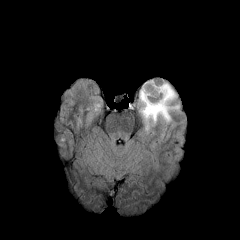
FLAIR MR image.
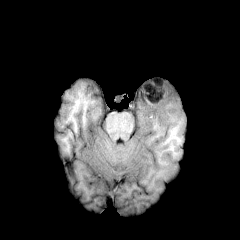
T1-weighted magnetic resonance of the same slice.
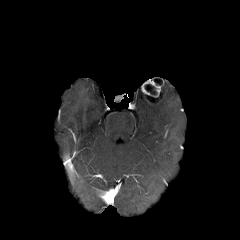
Post-contrast T1-weighted MRI of the same slice.
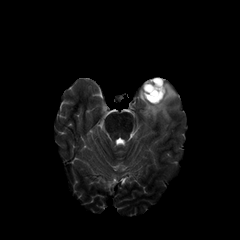
T2-weighted MR image.
Axial plane.
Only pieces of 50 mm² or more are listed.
necrotic tumor core: bounding box box(145, 84, 156, 95); box(153, 79, 163, 85); box(145, 92, 161, 102)
enhancing tumor: bounding box box(141, 79, 166, 104)
peritumoral edema: bounding box box(138, 82, 179, 132)